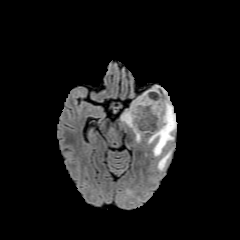
FLAIR MRI.
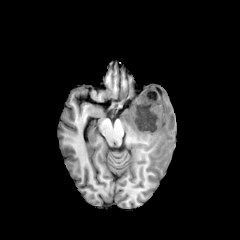
T1-weighted MR of the same slice.
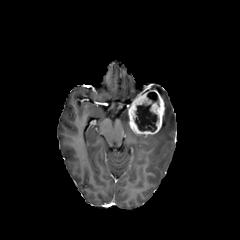
Post-contrast T1-weighted MR image of the same slice.
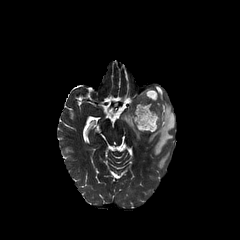
T2-weighted MRI.
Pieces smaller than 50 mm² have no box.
necrotic tumor core at [x1=135, y1=104, x2=157, y2=131], [x1=147, y1=92, x2=158, y2=102]
enhancing tumor at [x1=128, y1=90, x2=164, y2=135]
peritumoral edema at [x1=121, y1=110, x2=129, y2=127], [x1=157, y1=150, x2=170, y2=169], [x1=148, y1=86, x2=175, y2=156]